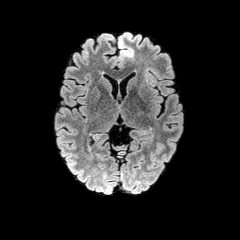
FLAIR magnetic resonance.
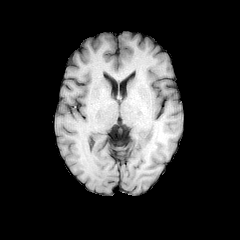
T1-weighted magnetic resonance.
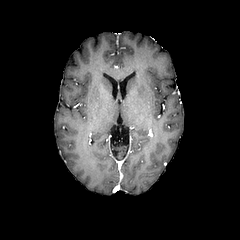
Post-contrast T1-weighted MR image of the same slice.
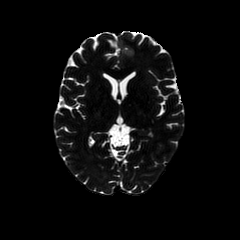
T2-weighted MRI of the same slice.
Axial slice; Head; 240x240
Annotated regions:
* peritumoral edema: region(117, 33, 134, 61)